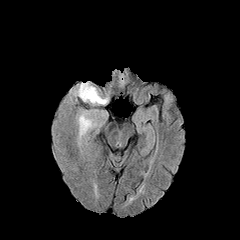
FLAIR magnetic resonance.
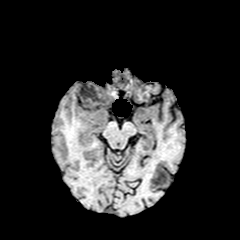
T1-weighted MR image.
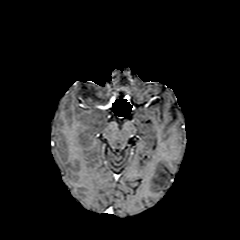
Post-contrast T1-weighted MR.
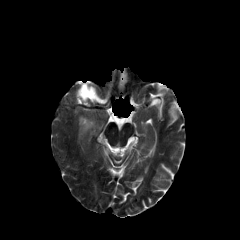
T2-weighted magnetic resonance of the same slice.
Brain
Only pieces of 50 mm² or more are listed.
peritumoral_edema:
  - <bbox>77, 83, 107, 104</bbox>
  - <bbox>79, 115, 92, 135</bbox>